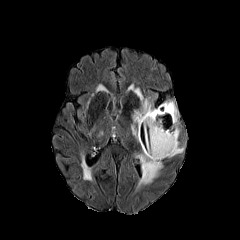
FLAIR MRI.
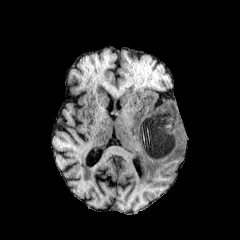
T1-weighted MRI.
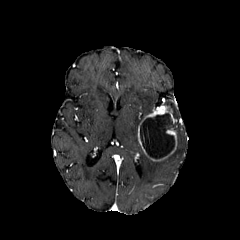
Post-contrast T1-weighted MRI.
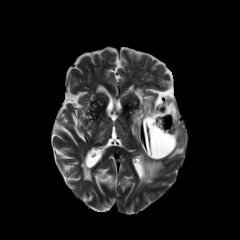
T2-weighted magnetic resonance of the same slice.
Axial view | Brain
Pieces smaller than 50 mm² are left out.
peritumoral edema at 161,100,178,119; 168,141,184,157; 131,88,157,139; 138,152,162,187
enhancing tumor at 137,105,177,161
necrotic tumor core at 140,113,174,158